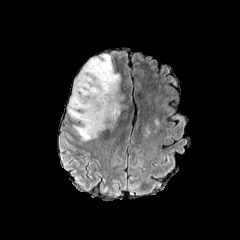
FLAIR MRI.
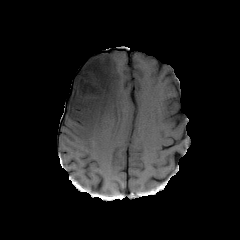
T1-weighted MRI.
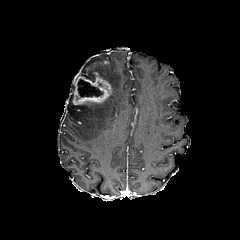
Post-contrast T1-weighted magnetic resonance.
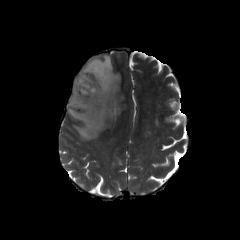
T2-weighted MR image of the same slice.
240x240 px | Axial plane
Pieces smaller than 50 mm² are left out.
The largest necrotic tumor core region lies within left=77, top=79, right=103, bottom=97. The largest peritumoral edema region is at left=67, top=54, right=123, bottom=140. The largest enhancing tumor region is located at left=72, top=67, right=112, bottom=106.